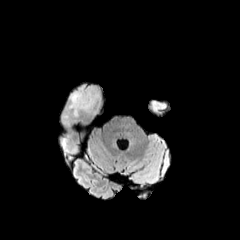
FLAIR MR.
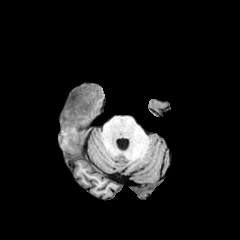
Same slice, T1-weighted MRI.
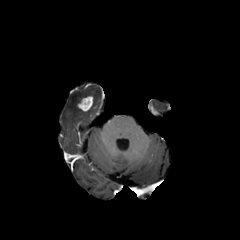
Same slice, post-contrast T1-weighted MR.
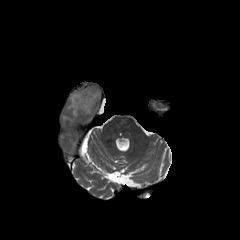
T2-weighted MR image.
Brain. Axial view.
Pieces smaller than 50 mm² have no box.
The enhancing tumor is at box(77, 96, 93, 111). The 2 largest peritumoral edema regions appear at box(62, 114, 71, 122); box(66, 85, 100, 116).